FLAIR MR image.
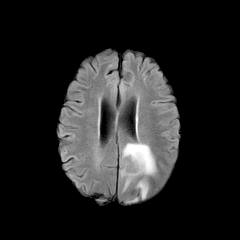
T1-weighted MR.
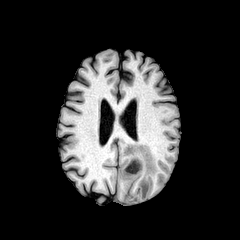
Post-contrast T1-weighted magnetic resonance.
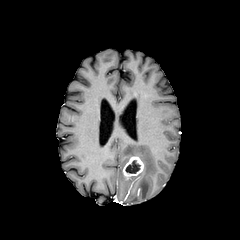
T2-weighted magnetic resonance.
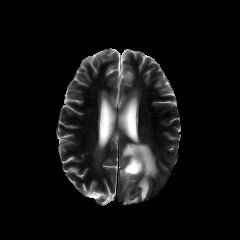
Brain
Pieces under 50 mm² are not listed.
- necrotic tumor core: {"x1": 125, "y1": 160, "x2": 140, "y2": 173}
- enhancing tumor: {"x1": 123, "y1": 156, "x2": 143, "y2": 179}
- peritumoral edema: {"x1": 123, "y1": 176, "x2": 137, "y2": 190}, {"x1": 122, "y1": 143, "x2": 156, "y2": 198}